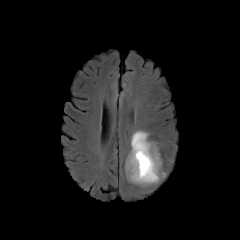
FLAIR MR.
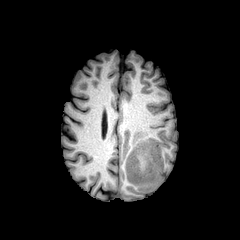
Same slice, T1-weighted MR.
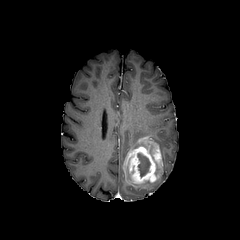
Post-contrast T1-weighted magnetic resonance.
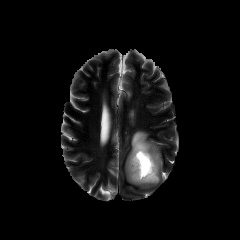
Same slice, T2-weighted MR.
Head, Axial view
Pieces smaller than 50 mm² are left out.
necrotic_tumor_core:
  - (left=137, top=153, right=150, bottom=177)
peritumoral_edema:
  - (left=132, top=168, right=165, bottom=186)
  - (left=131, top=130, right=148, bottom=149)
enhancing_tumor:
  - (left=125, top=137, right=162, bottom=184)